Axial plane, Slice 72 of 155, Head
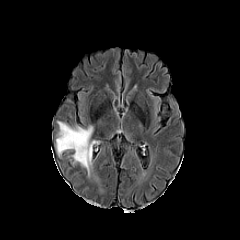
FLAIR MR.
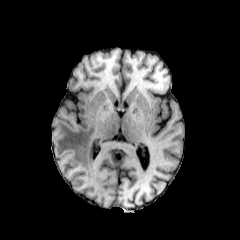
T1-weighted MR image of the same slice.
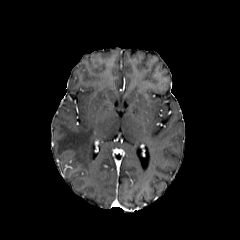
Post-contrast T1-weighted magnetic resonance of the same slice.
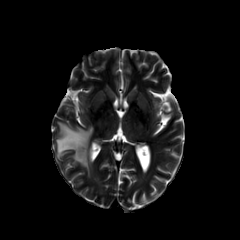
T2-weighted MR image.
peritumoral edema: bounding box (left=56, top=121, right=93, bottom=176)